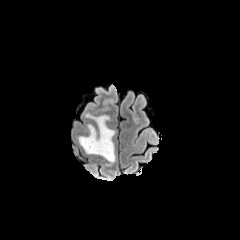
FLAIR MRI.
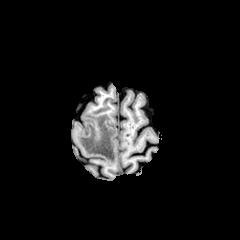
Same slice, T1-weighted MRI.
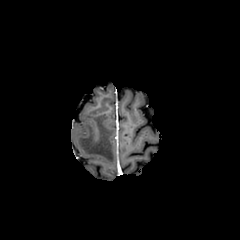
Post-contrast T1-weighted magnetic resonance of the same slice.
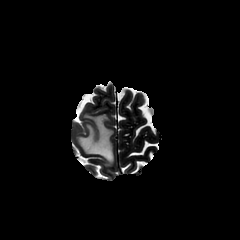
Same slice, T2-weighted MR image.
{
  "peritumoral_edema": [
    "78,114,114,165"
  ]
}